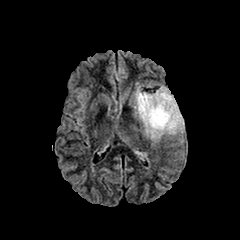
FLAIR magnetic resonance.
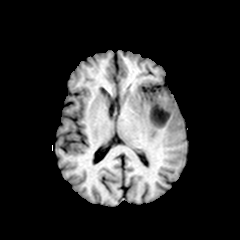
T1-weighted MRI.
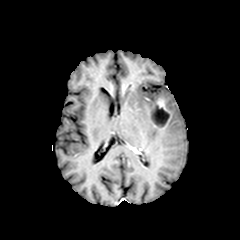
Post-contrast T1-weighted MR.
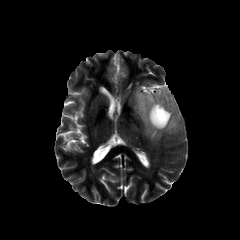
T2-weighted magnetic resonance.
Image size 240x240 | Brain
necrotic tumor core: <box>151,105,169,126</box>
peritumoral edema: <box>134,86,184,141</box>
enhancing tumor: <box>149,99,171,128</box>